FLAIR MR.
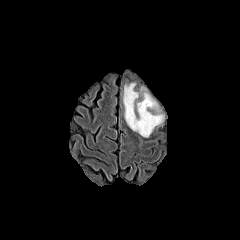
T1-weighted MR image.
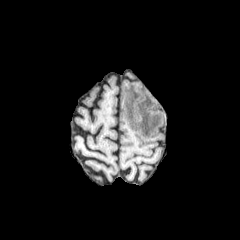
Post-contrast T1-weighted magnetic resonance.
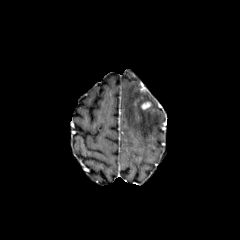
T2-weighted MR image.
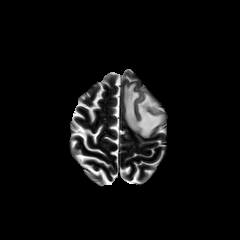
Image size 240x240, Axial view
enhancing tumor at left=141, top=101, right=151, bottom=109
peritumoral edema at left=123, top=83, right=164, bottom=137